FLAIR magnetic resonance.
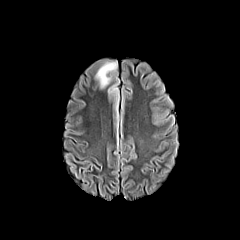
T1-weighted MR image.
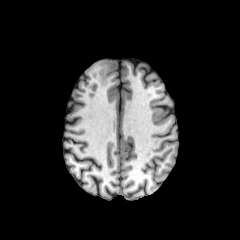
Post-contrast T1-weighted MR image.
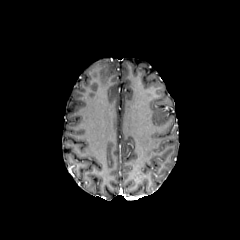
T2-weighted MRI.
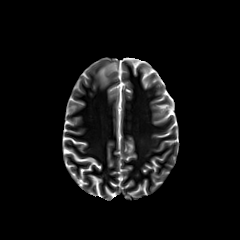
2 peritumoral edema regions are located at l=108, t=85, r=117, b=93; l=96, t=61, r=117, b=88.